Slice index 39.
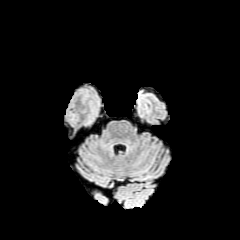
FLAIR MR.
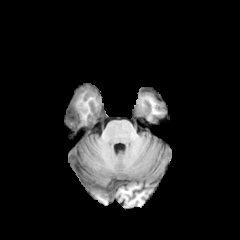
T1-weighted MR image.
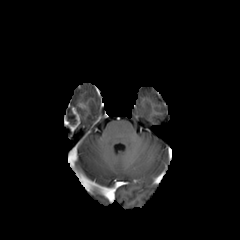
Same slice, post-contrast T1-weighted MR.
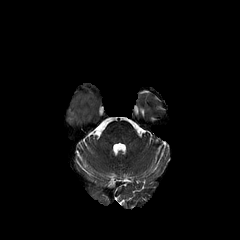
Same slice, T2-weighted magnetic resonance.
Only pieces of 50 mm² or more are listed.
enhancing tumor: bbox(65, 107, 80, 129)
necrotic tumor core: bbox(66, 107, 76, 125)
peritumoral edema: bbox(71, 96, 86, 114)